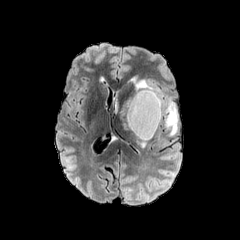
FLAIR MRI.
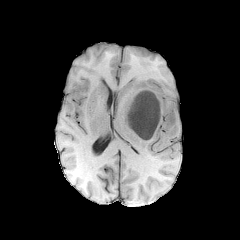
T1-weighted magnetic resonance.
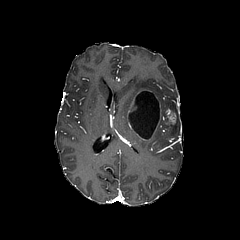
Post-contrast T1-weighted MR of the same slice.
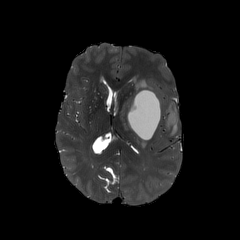
Same slice, T2-weighted MRI.
Brain
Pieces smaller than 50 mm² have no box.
The 3 largest peritumoral edema regions appear at l=132, t=78, r=158, b=98; l=120, t=97, r=133, b=130; l=165, t=102, r=178, b=135. The 2 largest enhancing tumor regions appear at l=127, t=98, r=134, b=130; l=163, t=109, r=175, b=125. The necrotic tumor core lies within l=128, t=91, r=159, b=139.